FLAIR magnetic resonance.
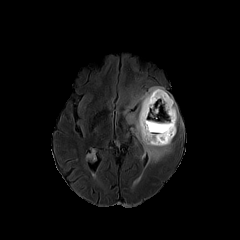
T1-weighted MRI.
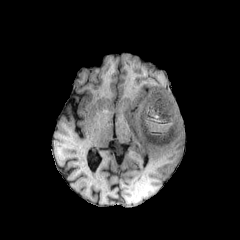
Post-contrast T1-weighted magnetic resonance.
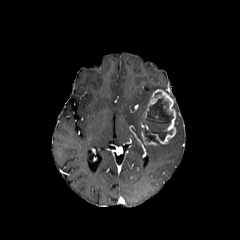
T2-weighted magnetic resonance.
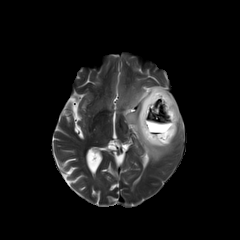
Head
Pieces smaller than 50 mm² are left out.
Segmented structures:
* necrotic tumor core: bbox(142, 98, 172, 144)
* peritumoral edema: bbox(124, 86, 165, 143); bbox(173, 103, 181, 128); bbox(144, 138, 172, 163)
* enhancing tumor: bbox(141, 129, 158, 145); bbox(142, 89, 176, 144)